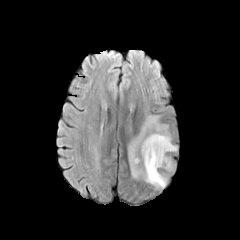
FLAIR magnetic resonance.
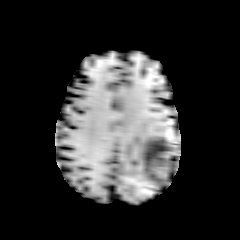
T1-weighted MRI of the same slice.
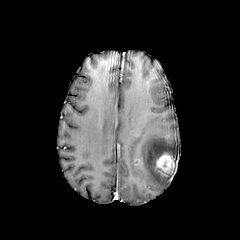
Post-contrast T1-weighted MR.
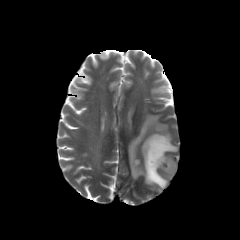
Same slice, T2-weighted MRI.
Axial view. Brain.
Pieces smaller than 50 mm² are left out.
{"enhancing_tumor": ["[156, 153, 174, 175]"], "peritumoral_edema": ["[128, 115, 177, 188]"]}